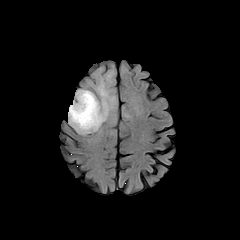
FLAIR magnetic resonance.
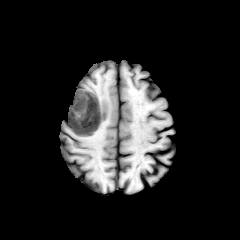
T1-weighted MR image of the same slice.
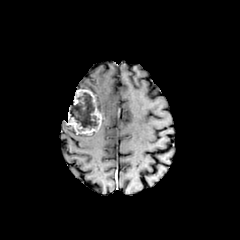
Same slice, post-contrast T1-weighted MRI.
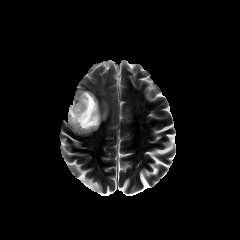
T2-weighted magnetic resonance.
Axial view
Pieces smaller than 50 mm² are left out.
enhancing tumor: 68,89,102,134
necrotic tumor core: 70,92,97,129
peritumoral edema: 95,79,115,122